Slice index 50, 240x240, Axial plane
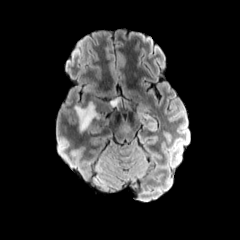
FLAIR MRI.
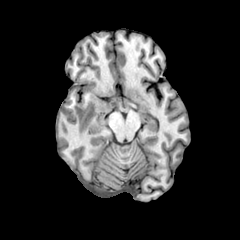
Same slice, T1-weighted MR.
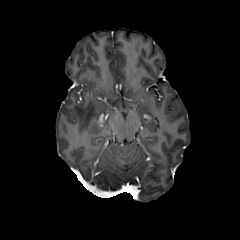
Post-contrast T1-weighted MR image of the same slice.
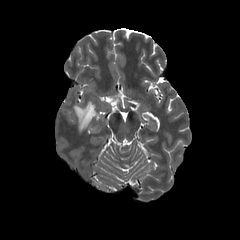
T2-weighted MR image.
peritumoral edema = <box>110,97,120,106</box>, <box>74,102,97,131</box>